Brain
FLAIR magnetic resonance.
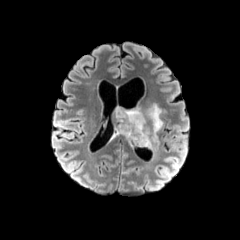
T1-weighted MRI.
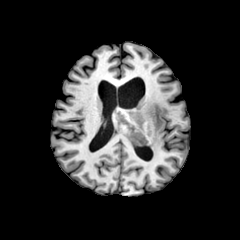
Post-contrast T1-weighted MR.
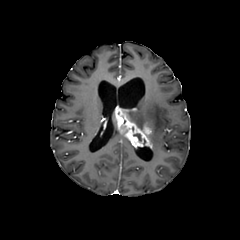
T2-weighted MRI.
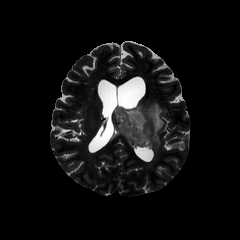
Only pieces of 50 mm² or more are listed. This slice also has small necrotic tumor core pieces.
Findings:
- enhancing tumor: 114 107 152 148
- peritumoral edema: 146 103 163 145, 127 107 146 129